FLAIR magnetic resonance.
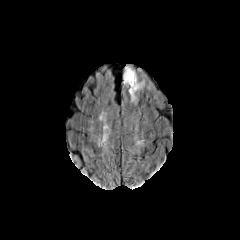
T1-weighted MR.
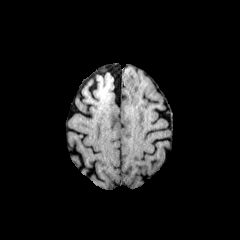
Post-contrast T1-weighted MR image.
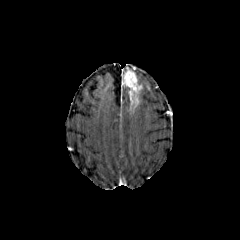
T2-weighted MR image.
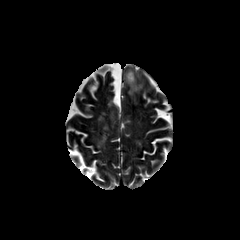
Axial slice
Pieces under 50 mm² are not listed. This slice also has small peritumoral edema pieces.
{
  "enhancing_tumor": [
    "123:68:142:105"
  ]
}